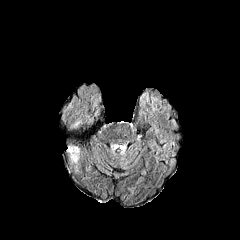
FLAIR MRI.
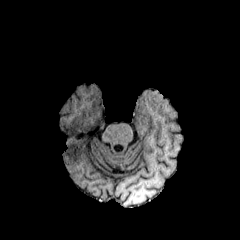
T1-weighted MRI.
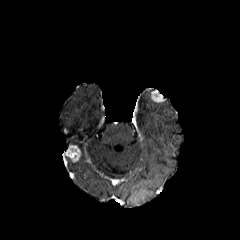
Post-contrast T1-weighted MRI of the same slice.
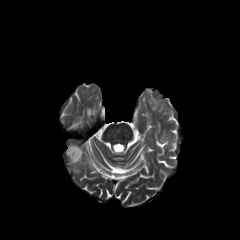
Same slice, T2-weighted magnetic resonance.
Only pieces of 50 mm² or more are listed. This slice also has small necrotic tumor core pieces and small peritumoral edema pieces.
{"enhancing_tumor": ["(left=65, top=146, right=80, bottom=160)"]}